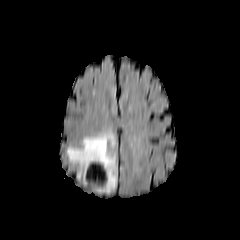
FLAIR magnetic resonance.
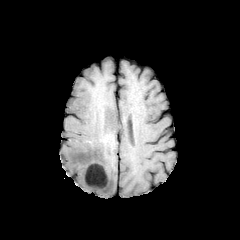
T1-weighted MRI.
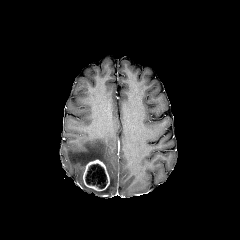
Post-contrast T1-weighted MRI.
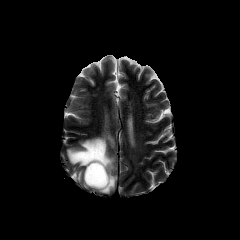
T2-weighted MR image.
Axial view; Head; 240x240 px
necrotic tumor core: (85,164,107,188) | enhancing tumor: (83,159,110,191) | peritumoral edema: (66,133,116,193)